FLAIR MR.
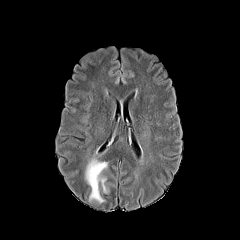
T1-weighted MRI.
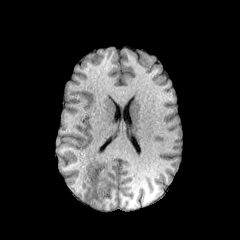
Post-contrast T1-weighted magnetic resonance.
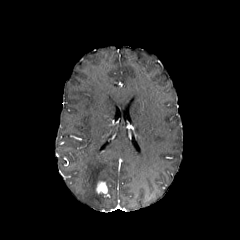
T2-weighted MRI.
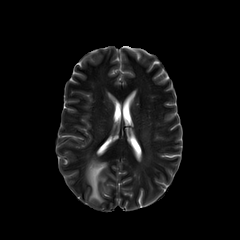
Brain, Image size 240x240
The enhancing tumor is at [96,181,107,193]. The peritumoral edema is at [85,154,107,203].